Axial slice | Slice 120/155 | Image width 240 mm | Image size 240x240
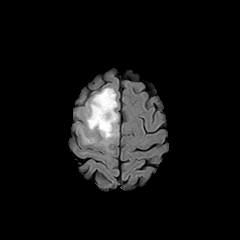
FLAIR MR image.
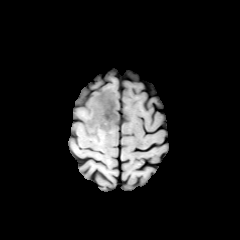
T1-weighted MRI.
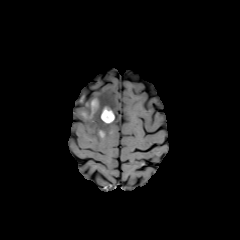
Post-contrast T1-weighted magnetic resonance of the same slice.
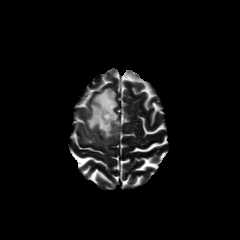
T2-weighted MR image.
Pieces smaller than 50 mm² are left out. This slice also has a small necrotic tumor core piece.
peritumoral edema: bounding box [x1=81, y1=130, x2=96, y2=143], [x1=85, y1=87, x2=118, y2=146]
enhancing tumor: bounding box [x1=101, y1=106, x2=114, y2=123], [x1=91, y1=99, x2=98, y2=113]